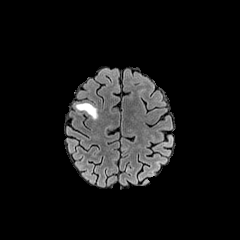
FLAIR MR image.
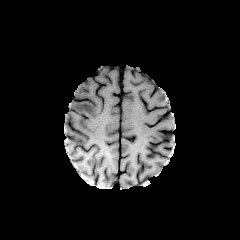
T1-weighted magnetic resonance of the same slice.
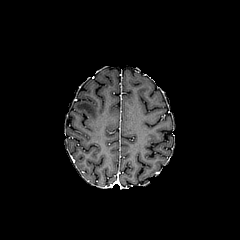
Same slice, post-contrast T1-weighted MR image.
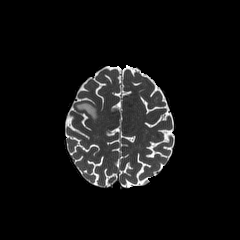
Same slice, T2-weighted magnetic resonance.
Brain, Axial plane, 240x240 px
The peritumoral edema is located at [76, 102, 97, 119].